240x240 px | Image width 240 mm | Axial slice | Head
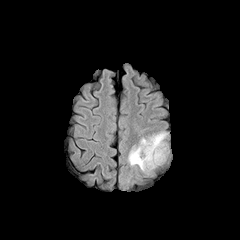
FLAIR MR image.
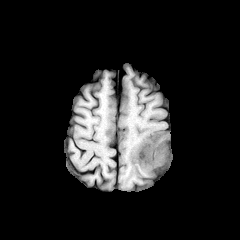
T1-weighted MRI of the same slice.
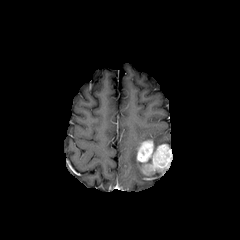
Post-contrast T1-weighted magnetic resonance.
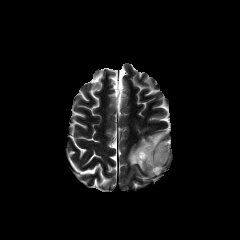
T2-weighted MR.
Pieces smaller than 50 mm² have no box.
<segmentation>
  <enhancing_tumor>(136, 140, 171, 174)</enhancing_tumor>
  <peritumoral_edema>(128, 131, 167, 170)</peritumoral_edema>
</segmentation>